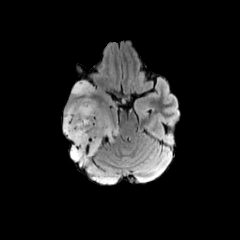
FLAIR magnetic resonance.
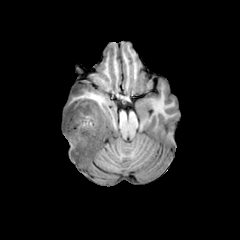
T1-weighted MRI.
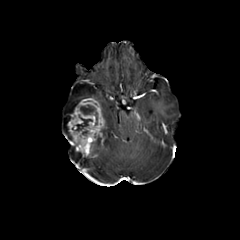
Same slice, post-contrast T1-weighted magnetic resonance.
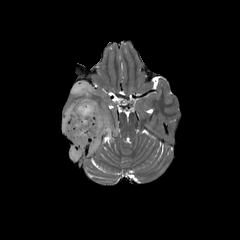
T2-weighted MRI.
Image size 240x240; Head
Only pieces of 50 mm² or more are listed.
peritumoral_edema:
  - region(103, 113, 111, 135)
  - region(72, 81, 94, 97)
  - region(70, 145, 82, 160)
  - region(64, 101, 79, 140)
enhancing_tumor:
  - region(67, 98, 106, 157)
necrotic_tumor_core:
  - region(76, 118, 91, 130)
  - region(80, 105, 94, 114)